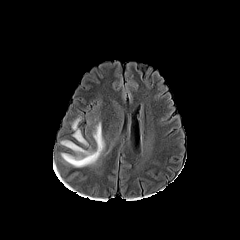
FLAIR MR image.
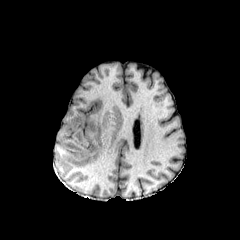
T1-weighted MR image of the same slice.
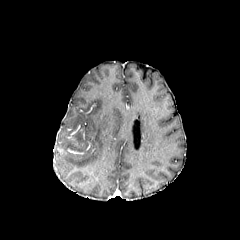
Post-contrast T1-weighted MRI of the same slice.
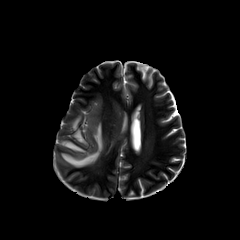
Same slice, T2-weighted MR image.
Findings:
* peritumoral edema: (left=72, top=116, right=80, bottom=129), (left=61, top=122, right=104, bottom=167), (left=73, top=129, right=87, bottom=144)